FLAIR MR image.
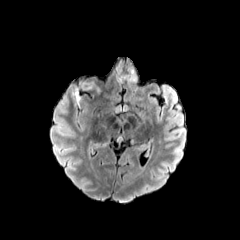
T1-weighted MR.
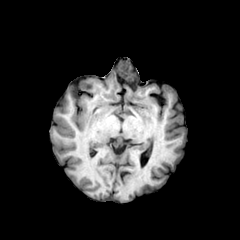
Post-contrast T1-weighted MR.
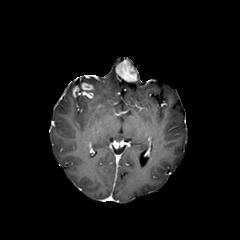
T2-weighted MR.
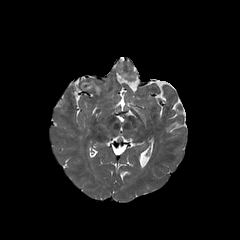
240x240. Brain.
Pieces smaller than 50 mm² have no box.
enhancing_tumor:
  - bbox(115, 60, 137, 83)
  - bbox(71, 82, 94, 98)
peritumoral_edema:
  - bbox(89, 82, 100, 92)